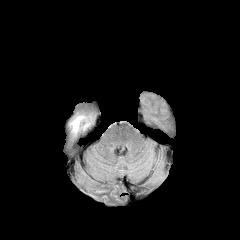
FLAIR MR.
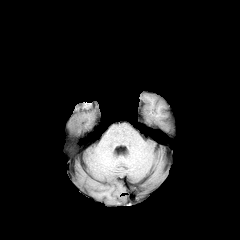
T1-weighted MR of the same slice.
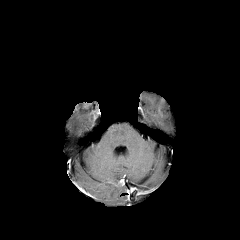
Post-contrast T1-weighted MR of the same slice.
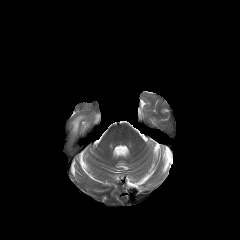
T2-weighted magnetic resonance.
Axial view, Head
The peritumoral edema is located at 70, 115, 90, 135.